Image width 240 mm. Slice index 78.
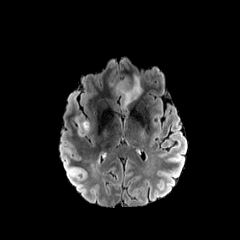
FLAIR MRI.
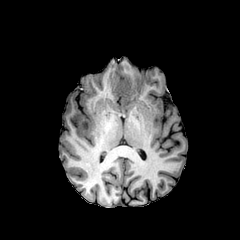
T1-weighted MR image of the same slice.
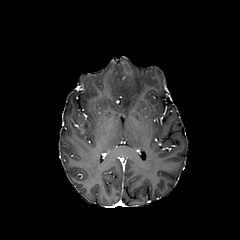
Same slice, post-contrast T1-weighted magnetic resonance.
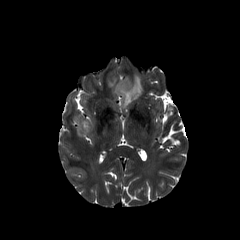
T2-weighted MR image.
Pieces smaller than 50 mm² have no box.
The enhancing tumor is bounded by box=[77, 119, 89, 133]. The largest peritumoral edema region lies within box=[115, 75, 142, 108].